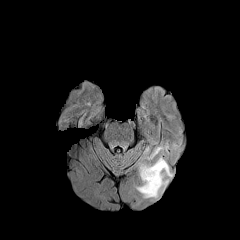
FLAIR magnetic resonance.
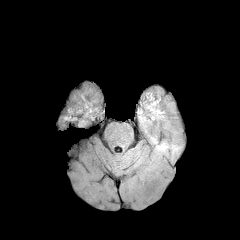
Same slice, T1-weighted magnetic resonance.
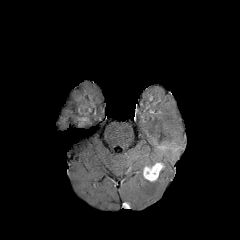
Post-contrast T1-weighted MR image.
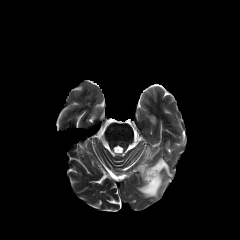
T2-weighted magnetic resonance.
Image size 240x240
{
  "peritumoral_edema": [
    "136 157 173 198",
    "144 147 160 159"
  ],
  "enhancing_tumor": [
    "143 162 164 181"
  ]
}